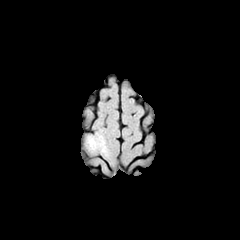
FLAIR MR.
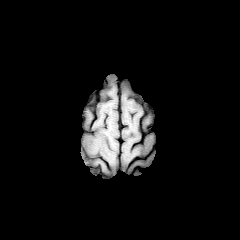
Same slice, T1-weighted MRI.
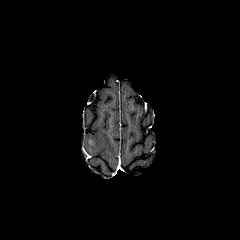
Post-contrast T1-weighted MRI.
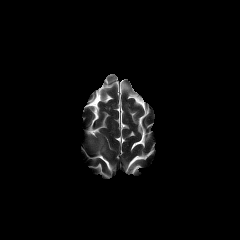
T2-weighted MRI.
Image size 240x240
peritumoral edema: [83,131,113,166]
enhancing tumor: [88,138,96,148]